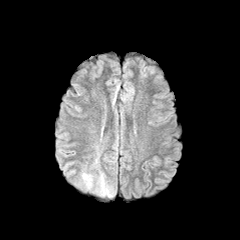
FLAIR MR image.
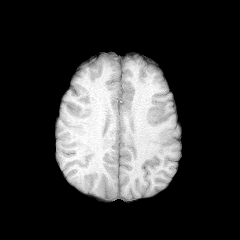
T1-weighted MR image.
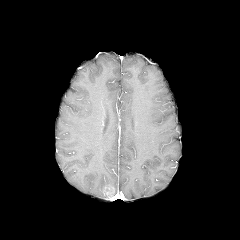
Post-contrast T1-weighted MR.
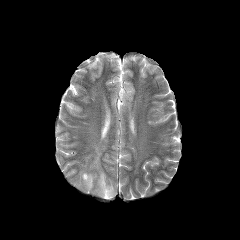
T2-weighted magnetic resonance.
Brain | Image size 240x240 | Axial view
The enhancing tumor is located at [103, 187, 113, 198]. The peritumoral edema is bounded by [77, 156, 115, 200].